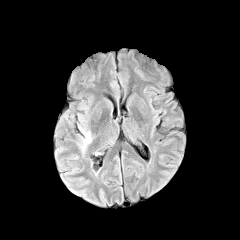
FLAIR magnetic resonance.
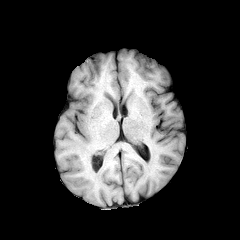
T1-weighted MR image.
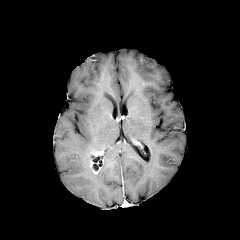
Post-contrast T1-weighted magnetic resonance.
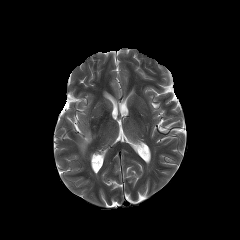
T2-weighted MRI.
Axial view
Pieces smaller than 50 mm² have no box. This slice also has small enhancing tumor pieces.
peritumoral edema: 79, 131, 91, 154